FLAIR MRI.
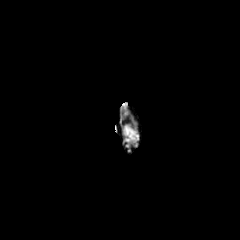
T1-weighted magnetic resonance.
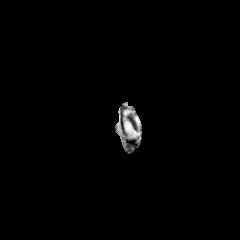
Post-contrast T1-weighted MRI.
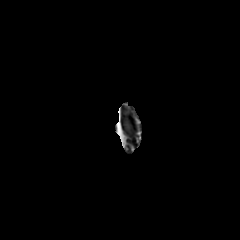
T2-weighted MR image.
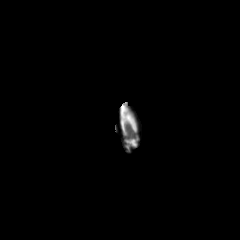
peritumoral edema at [x1=125, y1=126, x2=135, y2=137]